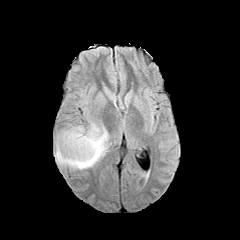
FLAIR MRI.
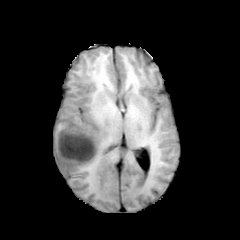
T1-weighted magnetic resonance of the same slice.
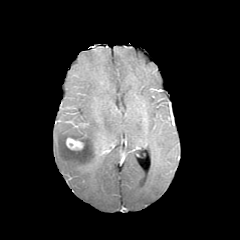
Post-contrast T1-weighted MR image of the same slice.
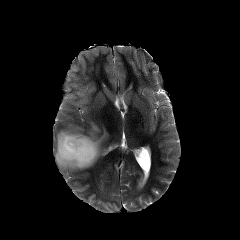
Same slice, T2-weighted MRI.
Brain
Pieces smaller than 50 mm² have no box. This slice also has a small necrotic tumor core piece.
Annotated regions:
• enhancing tumor: l=66, t=138, r=83, b=150
• peritumoral edema: l=55, t=122, r=108, b=170